FLAIR MR image.
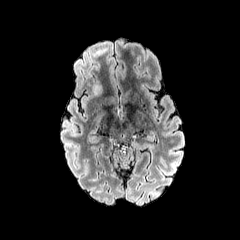
T1-weighted MR.
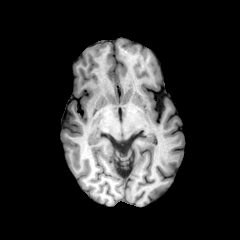
Post-contrast T1-weighted MR.
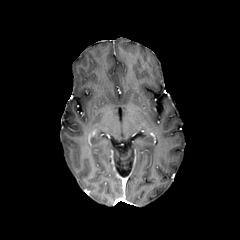
T2-weighted magnetic resonance.
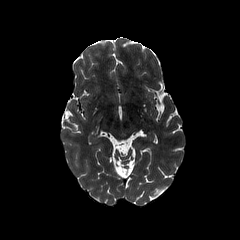
Axial plane, Head
The peritumoral edema is located at 92,83,101,95.